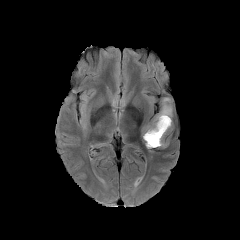
FLAIR MR image.
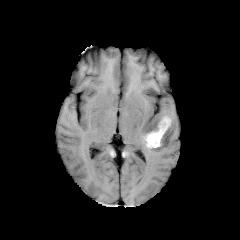
T1-weighted magnetic resonance.
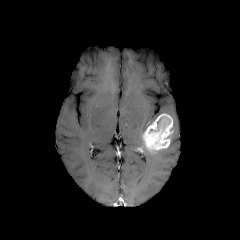
Post-contrast T1-weighted MR image.
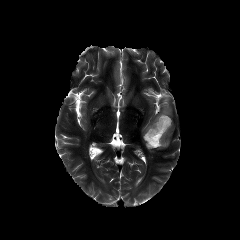
T2-weighted MRI of the same slice.
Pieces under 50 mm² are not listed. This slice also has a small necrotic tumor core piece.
enhancing tumor: {"x1": 142, "y1": 113, "x2": 172, "y2": 151} | peritumoral edema: {"x1": 156, "y1": 98, "x2": 172, "y2": 117}